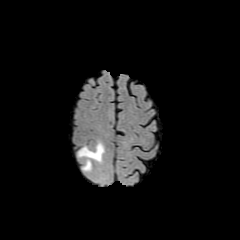
FLAIR MR.
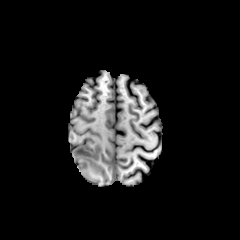
T1-weighted MRI.
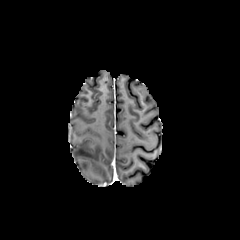
Post-contrast T1-weighted MRI.
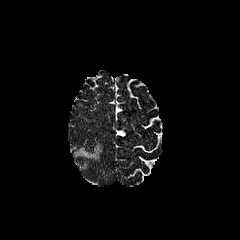
T2-weighted MR.
Axial view, Brain
The peritumoral edema is located at (78, 143, 103, 170).